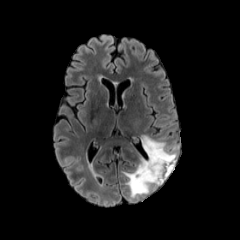
FLAIR magnetic resonance.
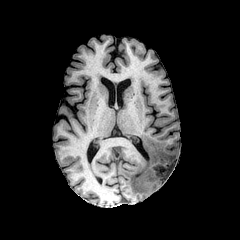
T1-weighted magnetic resonance.
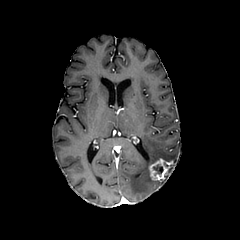
Same slice, post-contrast T1-weighted MRI.
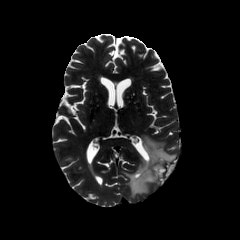
T2-weighted MR.
Axial plane. Brain.
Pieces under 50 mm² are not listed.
Findings:
- necrotic tumor core: box(153, 164, 163, 174)
- peritumoral edema: box(123, 135, 176, 197)
- enhancing tumor: box(148, 158, 173, 181)